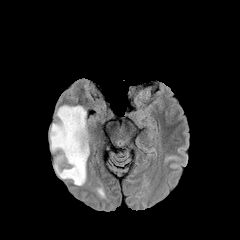
FLAIR MRI.
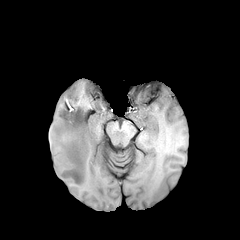
T1-weighted magnetic resonance of the same slice.
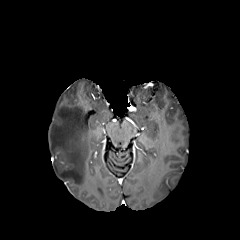
Post-contrast T1-weighted magnetic resonance of the same slice.
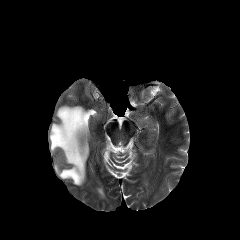
T2-weighted MR.
Segmented structures:
* peritumoral edema: [49, 105, 89, 185]